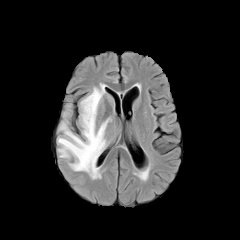
FLAIR MR.
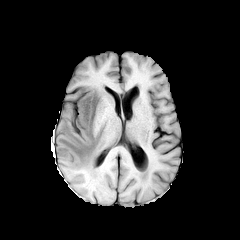
T1-weighted MRI of the same slice.
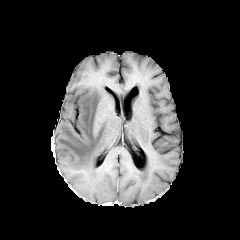
Post-contrast T1-weighted magnetic resonance.
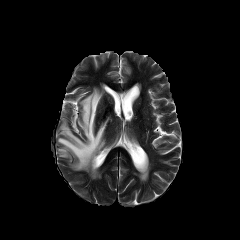
T2-weighted MRI.
Brain
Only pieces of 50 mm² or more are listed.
The largest peritumoral edema region is at [57,84,110,178].